FLAIR MRI.
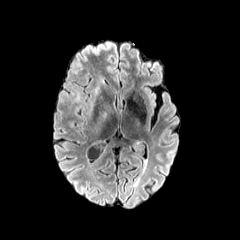
T1-weighted MR.
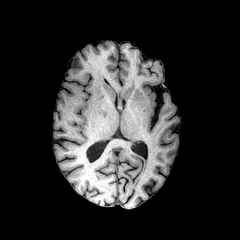
Post-contrast T1-weighted magnetic resonance.
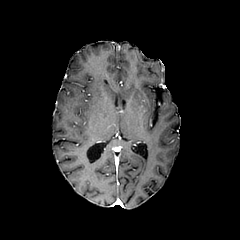
T2-weighted magnetic resonance.
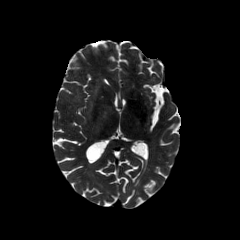
Axial plane | 240x240 | Head
peritumoral edema — (x1=92, y1=104, x2=111, y2=132), (x1=85, y1=83, x2=99, y2=117)